Axial view | 240x240 | Image covers 240 mm x 240 mm | Head
FLAIR magnetic resonance.
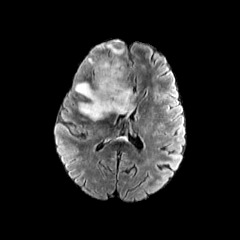
T1-weighted MR.
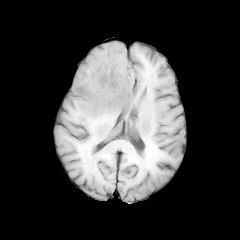
Post-contrast T1-weighted MR.
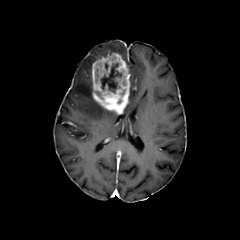
T2-weighted magnetic resonance.
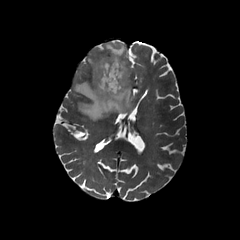
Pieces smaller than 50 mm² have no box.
The 4 largest peritumoral edema regions are bounded by x1=99 y1=41 x2=124 y2=55, x1=87 y1=56 x2=101 y2=67, x1=74 y1=82 x2=111 y2=120, x1=122 y1=87 x2=135 y2=114. The 2 largest necrotic tumor core regions are bounded by x1=116 y1=88 x2=125 y2=104, x1=95 y1=63 x2=126 y2=104. The enhancing tumor appears at x1=91 y1=52 x2=130 y2=114.